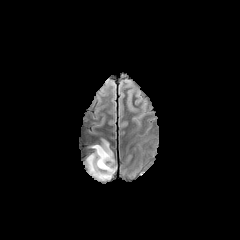
FLAIR MR image.
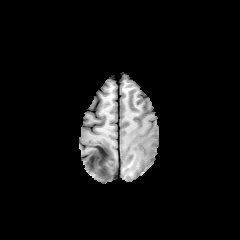
T1-weighted magnetic resonance of the same slice.
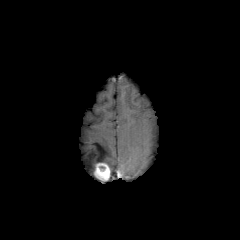
Same slice, post-contrast T1-weighted MR.
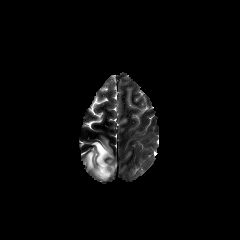
T2-weighted MR.
240x240 px
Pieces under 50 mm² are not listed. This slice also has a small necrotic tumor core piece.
The enhancing tumor appears at box(94, 163, 110, 180). The peritumoral edema is located at box(86, 140, 116, 178).